Image width 240 mm, 1.00 mm slice spacing; Axial plane; Slice 103/155
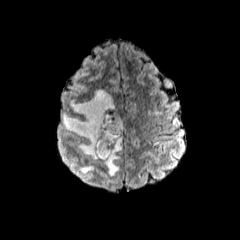
FLAIR MR.
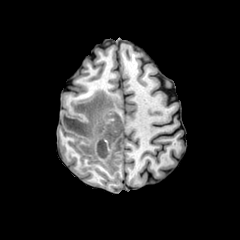
T1-weighted MRI.
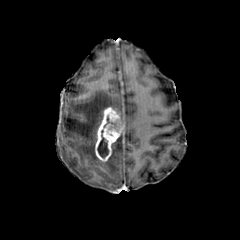
Same slice, post-contrast T1-weighted MR.
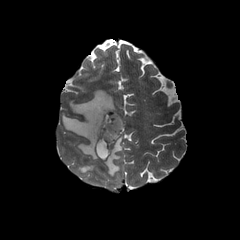
T2-weighted magnetic resonance.
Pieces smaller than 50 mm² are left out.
3 peritumoral edema regions appear at x1=63 y1=89 x2=117 y2=161, x1=102 y1=134 x2=122 y2=176, x1=80 y1=165 x2=94 y2=179. The largest enhancing tumor region is bounded by x1=94 y1=106 x2=123 y2=161. 2 necrotic tumor core regions are located at x1=97 y1=124 x2=108 y2=157, x1=106 y1=114 x2=119 y2=136.